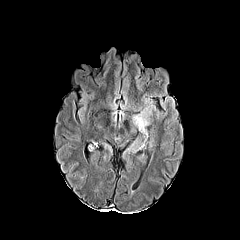
FLAIR MR image.
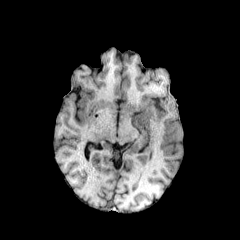
T1-weighted magnetic resonance.
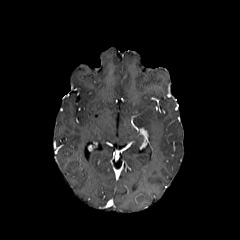
Post-contrast T1-weighted MR image.
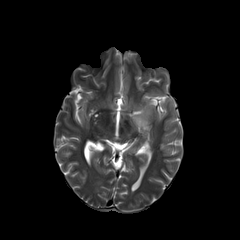
Same slice, T2-weighted MR image.
Image size 240x240.
The peritumoral edema is bounded by 134, 105, 152, 129.